Head; Image width 240 mm
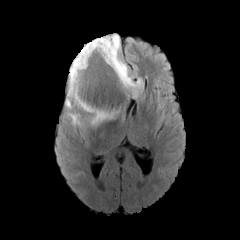
FLAIR magnetic resonance.
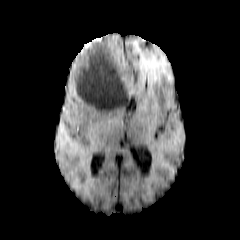
T1-weighted magnetic resonance.
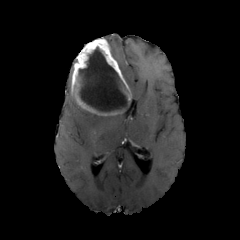
Same slice, post-contrast T1-weighted MRI.
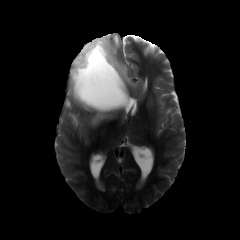
T2-weighted MR image.
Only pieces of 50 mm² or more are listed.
The necrotic tumor core appears at bbox(79, 47, 128, 111). The enhancing tumor lies within bbox(71, 37, 131, 115). The 4 largest peritumoral edema regions appear at bbox(68, 112, 81, 125); bbox(65, 63, 76, 109); bbox(104, 34, 143, 98); bbox(90, 114, 114, 125).